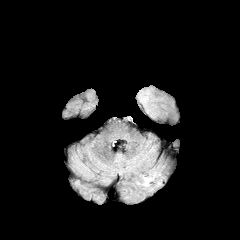
FLAIR magnetic resonance.
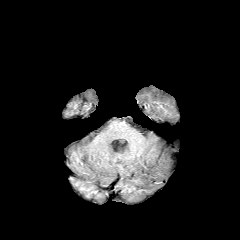
T1-weighted MR.
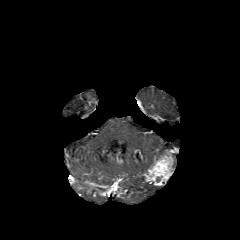
Post-contrast T1-weighted magnetic resonance.
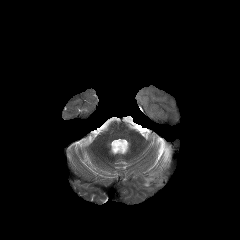
Same slice, T2-weighted MR.
Head
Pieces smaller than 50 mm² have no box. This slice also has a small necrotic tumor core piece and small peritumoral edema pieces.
Findings:
• enhancing tumor: 143,155,172,185